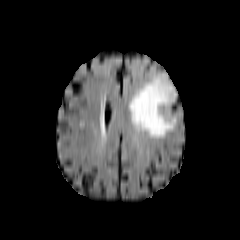
FLAIR MRI.
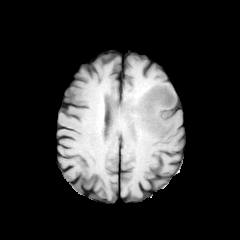
T1-weighted MRI.
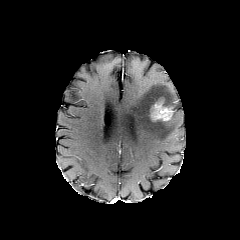
Same slice, post-contrast T1-weighted MRI.
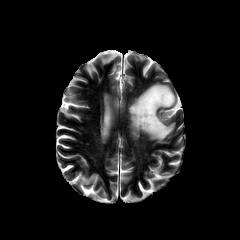
T2-weighted MR image.
240x240; Brain; Axial view
The peritumoral edema lies within 129,78,175,139. The enhancing tumor lies within 150,99,172,120.